FLAIR MRI.
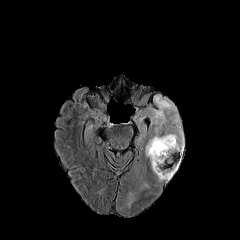
T1-weighted MR image.
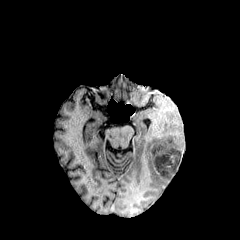
Post-contrast T1-weighted MR.
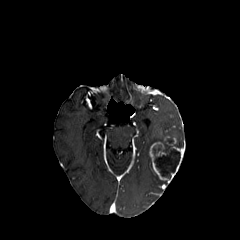
T2-weighted MRI.
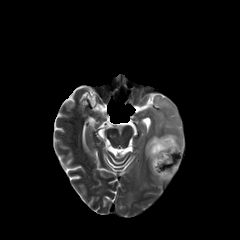
Axial plane; Head
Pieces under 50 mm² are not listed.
The largest peritumoral edema region lies within bbox(145, 96, 184, 157). The enhancing tumor appears at bbox(149, 136, 183, 181). The largest necrotic tumor core region appears at bbox(154, 142, 180, 178).